FLAIR magnetic resonance.
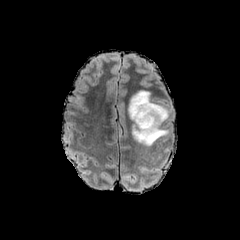
T1-weighted magnetic resonance.
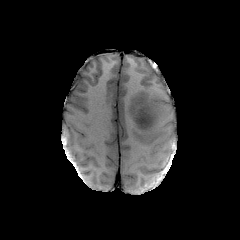
Post-contrast T1-weighted MR image.
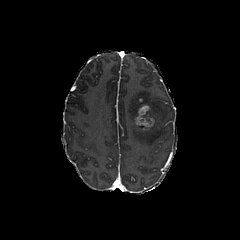
T2-weighted MRI.
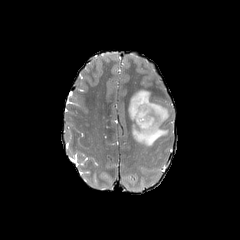
Head; 240x240 px
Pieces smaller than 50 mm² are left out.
* enhancing tumor: 135:104:154:130
* peritumoral edema: 128:90:167:146